FLAIR MRI.
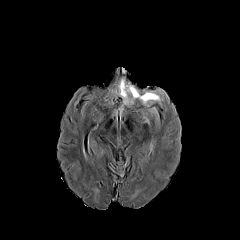
T1-weighted MR image.
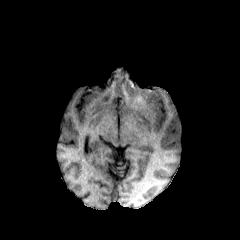
Post-contrast T1-weighted MR image.
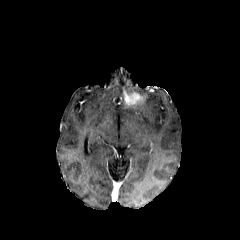
T2-weighted MR image.
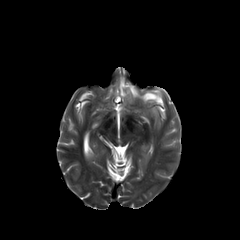
Axial view, Head
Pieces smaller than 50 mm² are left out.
{
  "enhancing_tumor": [
    "123,90,145,105"
  ],
  "peritumoral_edema": [
    "140,92,159,103",
    "119,79,137,97"
  ]
}